FLAIR magnetic resonance.
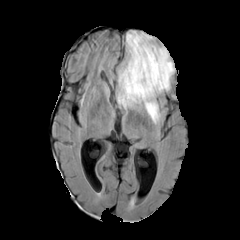
T1-weighted MR.
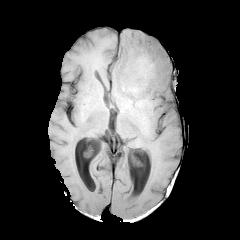
Post-contrast T1-weighted MR image.
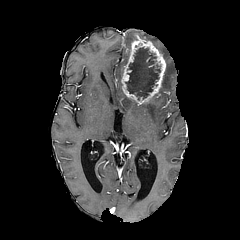
T2-weighted magnetic resonance.
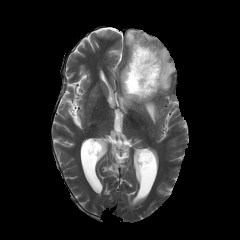
Head. 240x240 px.
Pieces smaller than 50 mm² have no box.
The largest enhancing tumor region lies within (121,34,166,104). The necrotic tumor core appears at (125,47,160,100). 2 peritumoral edema regions are located at (141,97,159,123), (116,30,174,108).